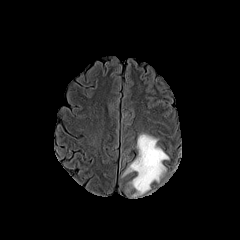
FLAIR MR.
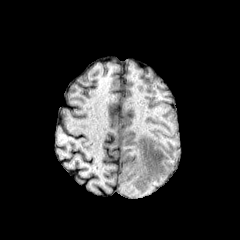
T1-weighted MR image.
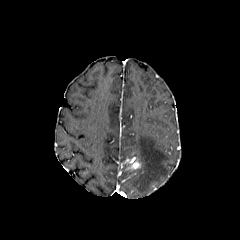
Post-contrast T1-weighted MR of the same slice.
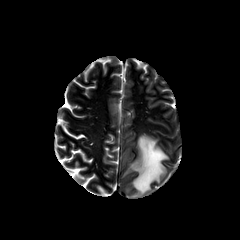
T2-weighted MR.
Axial view. 240x240. Head.
<segmentation>
  <enhancing_tumor>box=[127, 158, 141, 170]</enhancing_tumor>
  <peritumoral_edema>box=[122, 134, 168, 197]</peritumoral_edema>
</segmentation>